Brain | 240x240 px | Image width 240 mm, 1.00 mm slice spacing
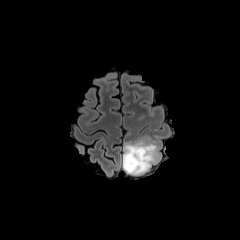
FLAIR MRI.
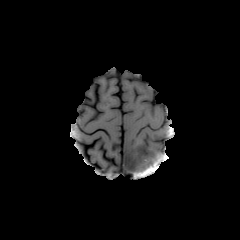
T1-weighted magnetic resonance of the same slice.
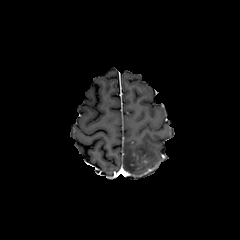
Same slice, post-contrast T1-weighted MRI.
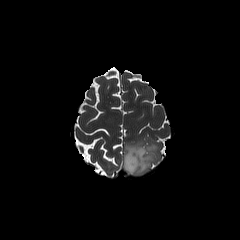
T2-weighted MRI.
peritumoral edema at l=123, t=139, r=162, b=176